FLAIR magnetic resonance.
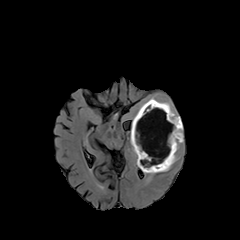
T1-weighted MR image.
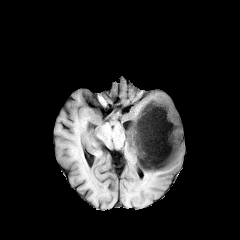
Post-contrast T1-weighted MR image.
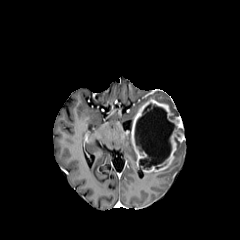
T2-weighted MR image.
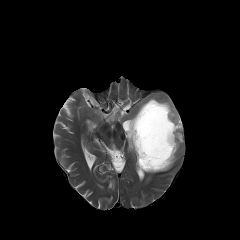
240x240
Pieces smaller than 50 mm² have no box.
<segmentation>
  <necrotic_tumor_core>[135, 103, 176, 169]</necrotic_tumor_core>
  <peritumoral_edema>[138, 96, 178, 115], [145, 143, 181, 174]</peritumoral_edema>
  <enhancing_tumor>[130, 99, 184, 172]</enhancing_tumor>
</segmentation>